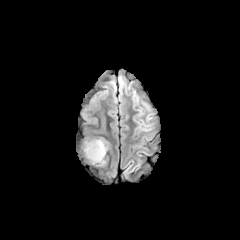
FLAIR MR.
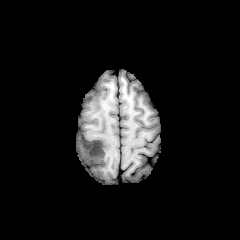
T1-weighted MRI of the same slice.
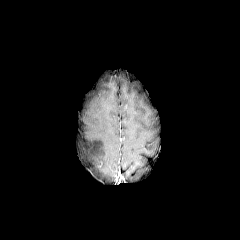
Post-contrast T1-weighted MR image.
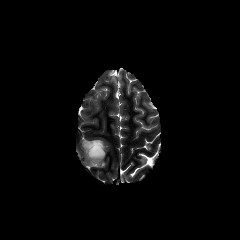
Same slice, T2-weighted MR image.
Brain.
The peritumoral edema appears at 83, 139, 107, 166.